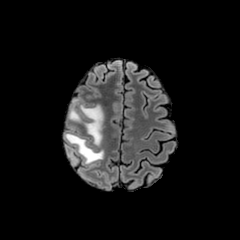
FLAIR MR image.
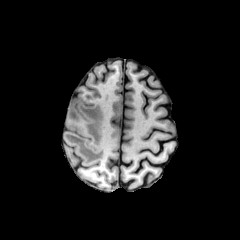
T1-weighted MR.
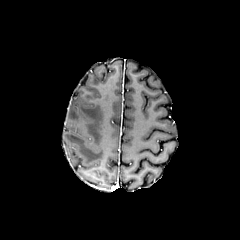
Post-contrast T1-weighted MRI.
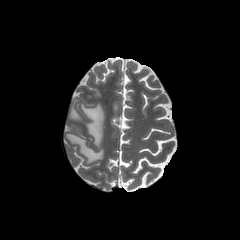
T2-weighted MR of the same slice.
Brain.
peritumoral_edema:
  - 80,104,103,146
  - 69,99,80,122
  - 65,133,103,163